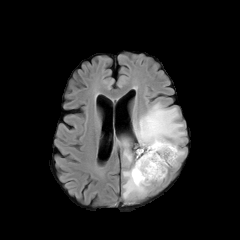
FLAIR MR.
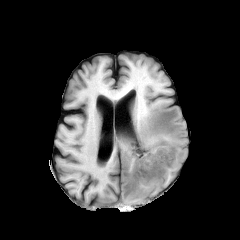
T1-weighted magnetic resonance.
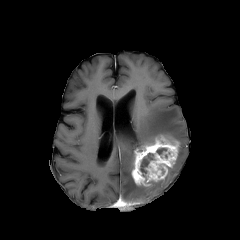
Post-contrast T1-weighted MR image.
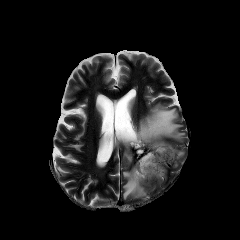
T2-weighted MRI.
240x240; Axial plane
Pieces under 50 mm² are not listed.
The largest necrotic tumor core region appears at l=140, t=153, r=153, b=173. The enhancing tumor is at l=131, t=135, r=179, b=186. The 4 largest peritumoral edema regions are located at l=134, t=103, r=185, b=146; l=122, t=163, r=151, b=199; l=118, t=139, r=132, b=165; l=173, t=149, r=185, b=166.